FLAIR MR.
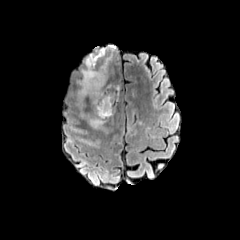
T1-weighted MR image.
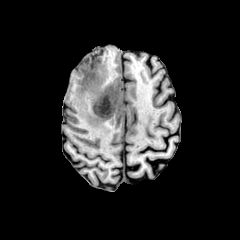
Post-contrast T1-weighted magnetic resonance.
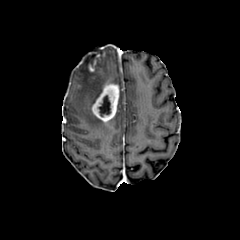
T2-weighted magnetic resonance.
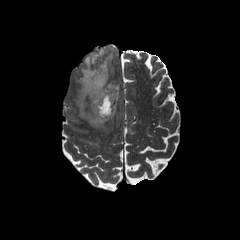
Brain; Axial slice
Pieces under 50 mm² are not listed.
necrotic tumor core: 98 95 110 116
enhancing tumor: 92 83 119 121
peritumoral edema: 77 49 111 103, 88 116 105 128